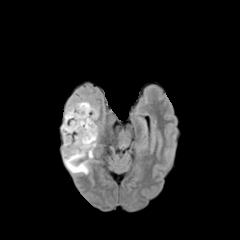
FLAIR MR image.
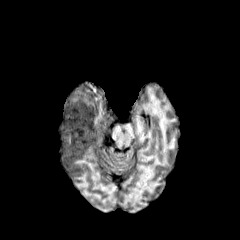
T1-weighted magnetic resonance.
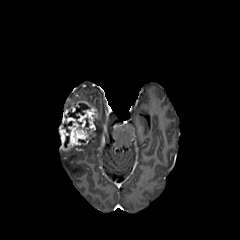
Post-contrast T1-weighted MR.
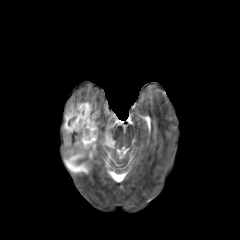
Same slice, T2-weighted magnetic resonance.
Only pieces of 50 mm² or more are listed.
enhancing tumor: 59 99 98 150 | necrotic tumor core: 65 103 89 118, 63 121 72 133 | peritumoral edema: 64 142 95 174